FLAIR MR.
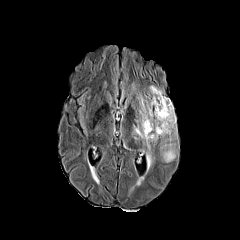
T1-weighted MRI.
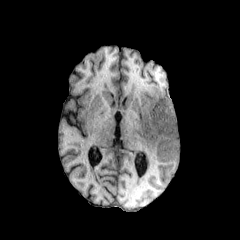
Post-contrast T1-weighted MR.
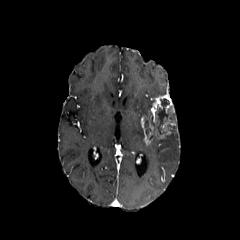
T2-weighted MR.
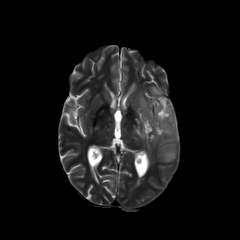
Head | Axial slice
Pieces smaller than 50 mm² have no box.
peritumoral edema = (149, 86, 163, 97), (161, 143, 175, 162), (159, 124, 177, 141), (133, 118, 145, 144), (139, 95, 154, 116)
enhancing tumor = (140, 95, 176, 145)
necrotic tumor core = (156, 99, 169, 134), (145, 119, 150, 134)